FLAIR magnetic resonance.
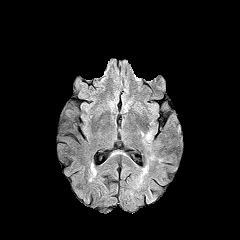
T1-weighted MRI.
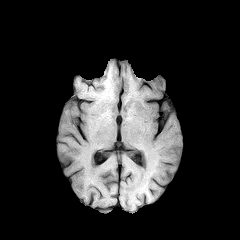
Post-contrast T1-weighted MR image.
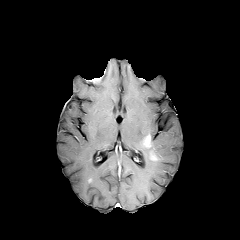
T2-weighted MR.
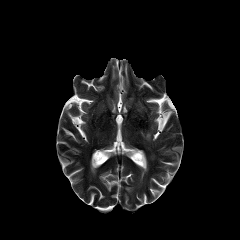
Head.
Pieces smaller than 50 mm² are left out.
Segmented structures:
• enhancing tumor: box=[144, 135, 150, 146]
• peritumoral edema: box=[141, 130, 153, 149]